Image width 240 mm, Head, Slice 52 of 155
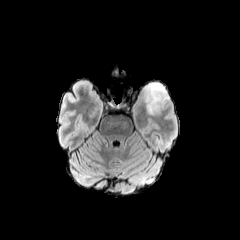
FLAIR MR image.
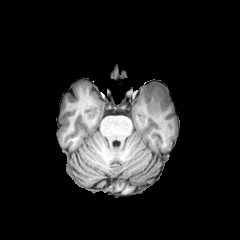
T1-weighted magnetic resonance.
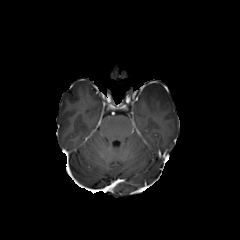
Post-contrast T1-weighted MRI of the same slice.
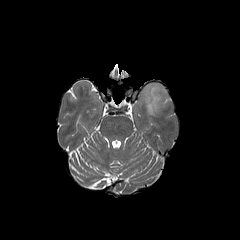
T2-weighted MRI of the same slice.
{"peritumoral_edema": ["x1=144 y1=82 x2=169 y2=114"]}